Axial plane. Slice 86 of 155.
FLAIR magnetic resonance.
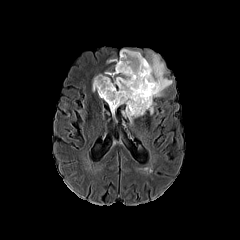
T1-weighted MRI.
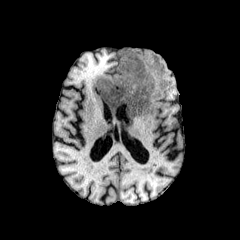
Post-contrast T1-weighted magnetic resonance.
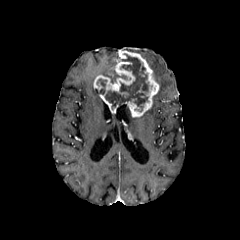
T2-weighted MRI.
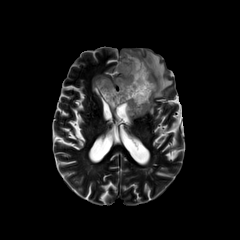
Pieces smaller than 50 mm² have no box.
necrotic tumor core at (105,54,148,111), (97,79,106,94)
enhancing tumor at (93,49,159,117)
peritumoral edema at (122,107,133,123), (144,52,172,98), (103,71,127,82)